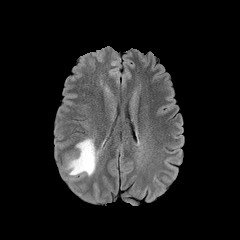
FLAIR magnetic resonance.
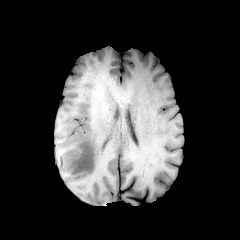
T1-weighted magnetic resonance of the same slice.
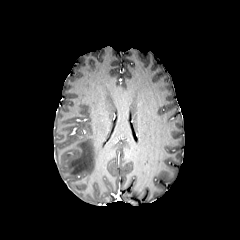
Post-contrast T1-weighted MR image.
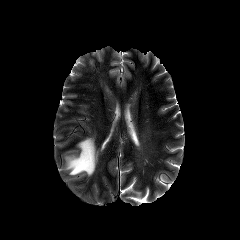
T2-weighted MRI.
Axial slice. Image size 240x240.
Annotated regions:
- peritumoral edema: left=66, top=138, right=99, bottom=175